FLAIR MRI.
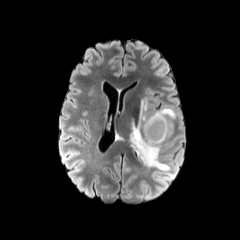
T1-weighted MR.
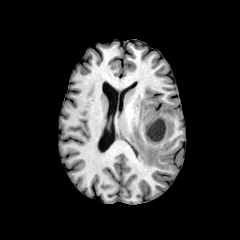
Post-contrast T1-weighted MR.
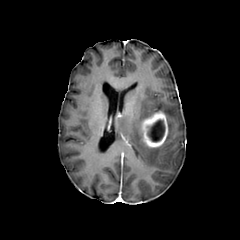
T2-weighted MRI.
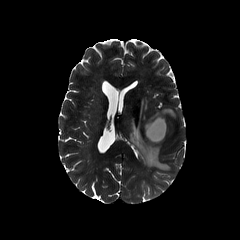
Axial plane
enhancing tumor: [141, 111, 168, 147] | peritumoral edema: [130, 98, 175, 170] | necrotic tumor core: [147, 119, 164, 142]